Slice 59/155 | 240x240 px | Image width 240 mm, 1.00 mm slice spacing
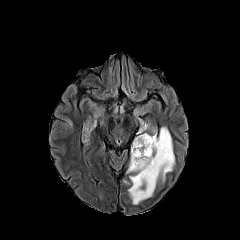
FLAIR MRI.
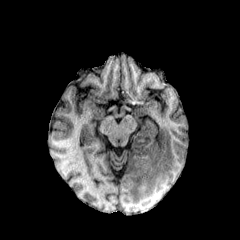
T1-weighted MR image.
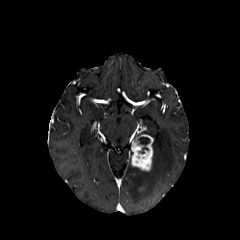
Same slice, post-contrast T1-weighted magnetic resonance.
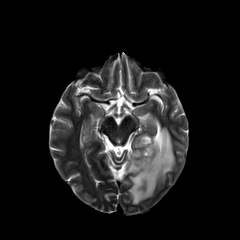
T2-weighted MR.
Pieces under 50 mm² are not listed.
The 2 largest peritumoral edema regions are bounded by [83, 124, 89, 140], [127, 127, 175, 204]. The largest necrotic tumor core region appears at [138, 137, 150, 145]. The enhancing tumor is at [130, 122, 153, 171].